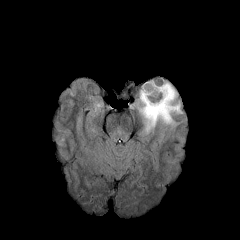
FLAIR MR image.
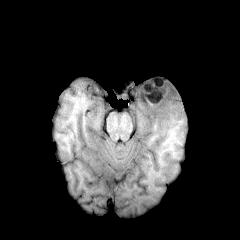
T1-weighted MRI.
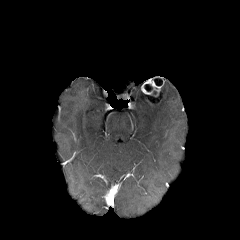
Same slice, post-contrast T1-weighted MRI.
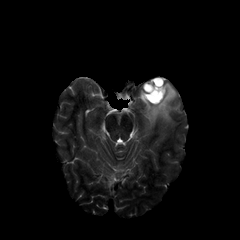
T2-weighted MR image of the same slice.
Axial slice, 240x240
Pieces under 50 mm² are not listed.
Findings:
* necrotic tumor core: region(144, 84, 152, 91); region(146, 92, 161, 103); region(154, 79, 163, 85)
* peritumoral edema: region(135, 81, 182, 133)
* enhancing tumor: region(141, 79, 167, 105)